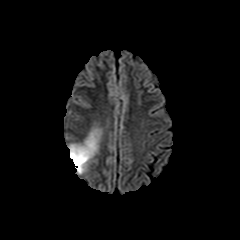
FLAIR MR image.
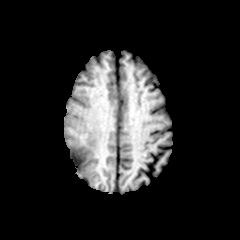
T1-weighted magnetic resonance.
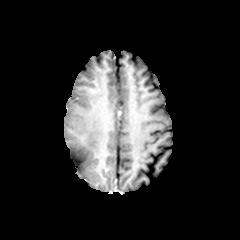
Post-contrast T1-weighted MR of the same slice.
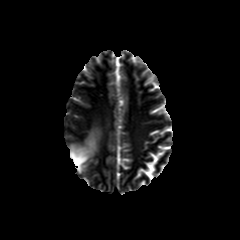
Same slice, T2-weighted MRI.
Image size 240x240; Axial plane
peritumoral_edema:
  - (69,131,97,173)